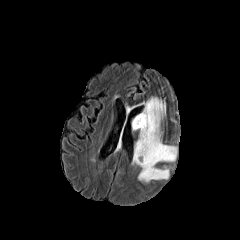
FLAIR magnetic resonance.
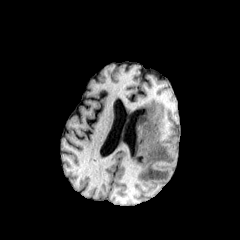
T1-weighted MR image.
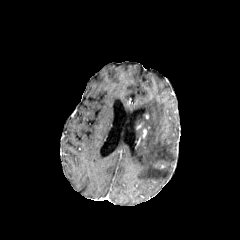
Same slice, post-contrast T1-weighted magnetic resonance.
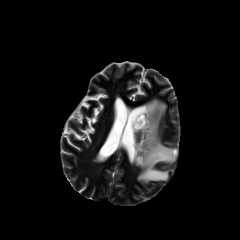
T2-weighted MRI of the same slice.
Axial view
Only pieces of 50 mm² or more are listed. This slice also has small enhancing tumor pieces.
{
  "peritumoral_edema": [
    "left=132, top=97, right=176, bottom=182"
  ]
}